Head | Image covers 240 mm x 240 mm
FLAIR MRI.
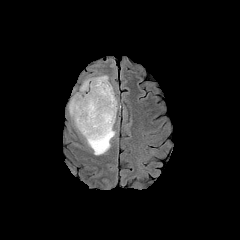
T1-weighted magnetic resonance.
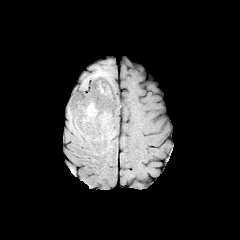
Post-contrast T1-weighted magnetic resonance.
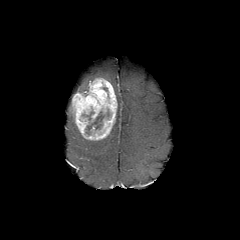
T2-weighted MRI.
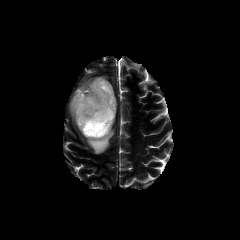
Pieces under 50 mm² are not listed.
enhancing tumor at box=[71, 78, 117, 140]
peritumoral edema at box=[69, 99, 84, 138]; box=[85, 103, 118, 155]; box=[78, 75, 108, 92]
necrotic tumor core at box=[86, 112, 104, 134]